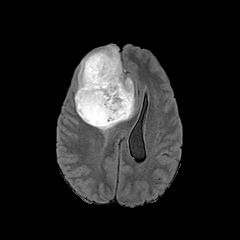
FLAIR MR.
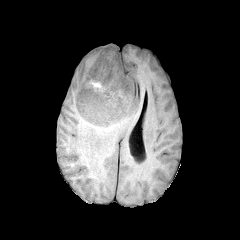
T1-weighted magnetic resonance of the same slice.
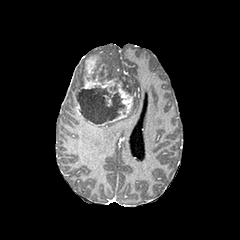
Post-contrast T1-weighted MRI of the same slice.
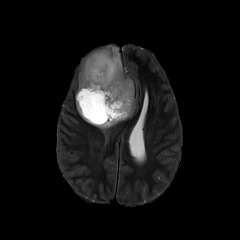
T2-weighted magnetic resonance.
Axial slice.
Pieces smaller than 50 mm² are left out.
necrotic tumor core — box(77, 85, 125, 124)
enhancing tumor — box(76, 55, 132, 125)
peritumoral edema — box(74, 45, 135, 132)